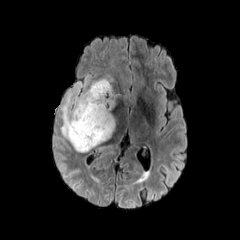
FLAIR MR image.
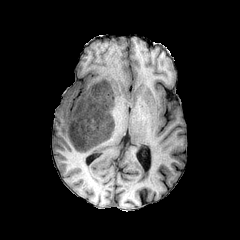
T1-weighted MR image.
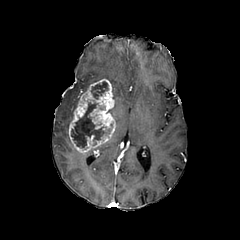
Same slice, post-contrast T1-weighted MR.
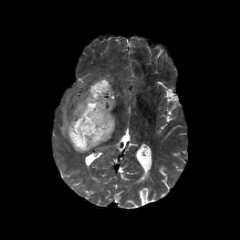
T2-weighted MR of the same slice.
Head
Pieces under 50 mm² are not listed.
The largest peritumoral edema region is bounded by box(57, 74, 113, 142). The largest enhancing tumor region is at box(68, 78, 115, 153). The 2 largest necrotic tumor core regions appear at box(71, 102, 112, 150); box(90, 81, 108, 99).